240x240 px, Head
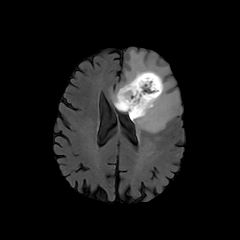
FLAIR MR image.
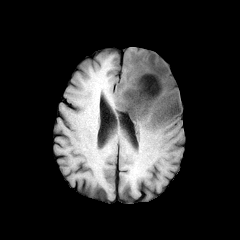
T1-weighted MR of the same slice.
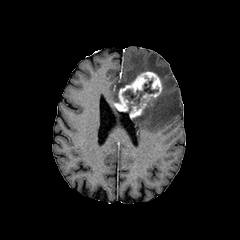
Post-contrast T1-weighted MRI.
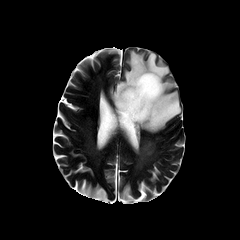
Same slice, T2-weighted MR image.
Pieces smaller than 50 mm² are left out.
peritumoral_edema:
  - rect(110, 50, 181, 133)
necrotic_tumor_core:
  - rect(123, 80, 158, 113)
enhancing_tumor:
  - rect(114, 71, 162, 118)